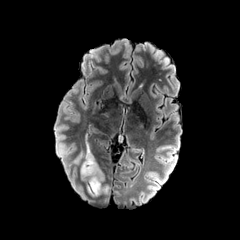
FLAIR MR.
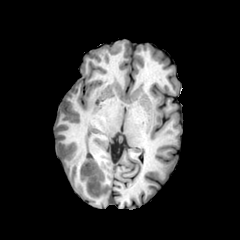
T1-weighted magnetic resonance.
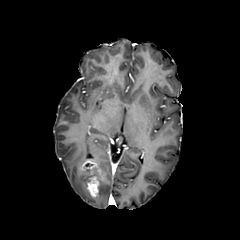
Post-contrast T1-weighted magnetic resonance of the same slice.
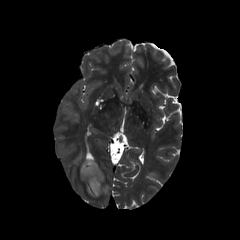
T2-weighted MR.
240x240 px; Head
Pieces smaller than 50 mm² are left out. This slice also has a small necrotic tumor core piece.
Findings:
• peritumoral edema: box=[80, 170, 91, 188]; box=[97, 169, 108, 197]; box=[85, 142, 94, 160]
• enhancing tumor: box=[81, 159, 103, 197]